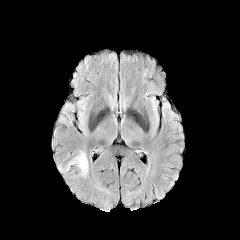
FLAIR MRI.
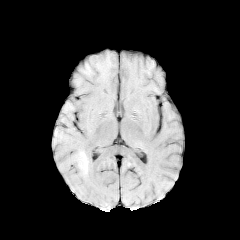
Same slice, T1-weighted MR image.
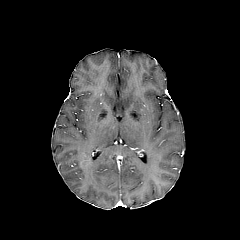
Same slice, post-contrast T1-weighted magnetic resonance.
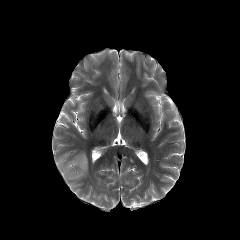
T2-weighted MRI of the same slice.
240x240 px, Brain, Axial slice
peritumoral edema: bounding box 58,151,88,178